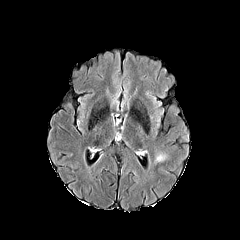
FLAIR magnetic resonance.
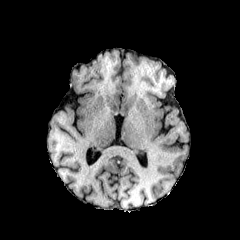
T1-weighted MR of the same slice.
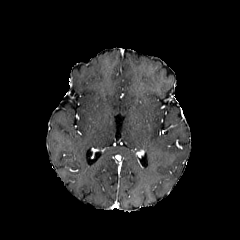
Post-contrast T1-weighted MR of the same slice.
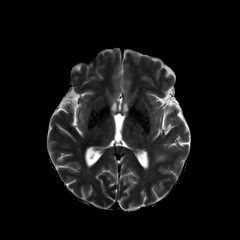
T2-weighted MRI of the same slice.
Axial view.
The peritumoral edema is located at x1=155 y1=154 x2=166 y2=161.